240x240 px; Slice 108 of 155
FLAIR MR.
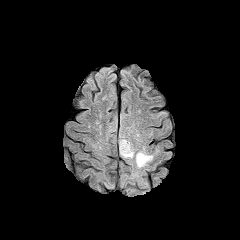
T1-weighted MR.
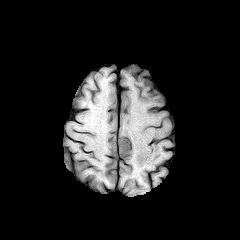
Post-contrast T1-weighted MR.
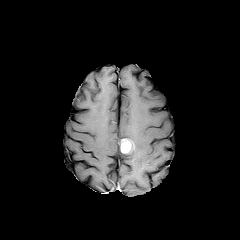
T2-weighted MR.
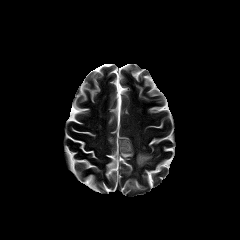
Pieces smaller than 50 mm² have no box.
enhancing tumor: x1=120 y1=139 x2=132 y2=153
peritumoral edema: x1=119 y1=135 x2=134 y2=158, x1=136 y1=147 x2=153 y2=168